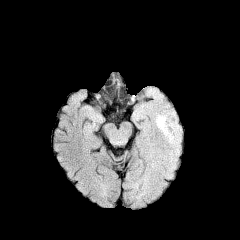
FLAIR MR.
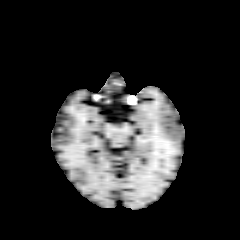
Same slice, T1-weighted MR image.
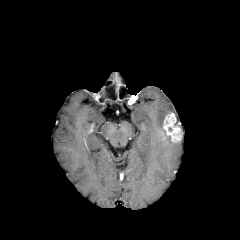
Post-contrast T1-weighted magnetic resonance.
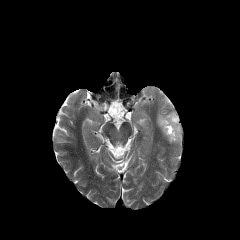
Same slice, T2-weighted MR image.
Axial slice. Head.
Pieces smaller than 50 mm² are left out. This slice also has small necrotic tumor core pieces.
peritumoral edema = x1=164, y1=136, x2=177, y2=144; x1=156, y1=113, x2=168, y2=130
enhancing tumor = x1=160, y1=112, x2=182, y2=142